FLAIR MRI.
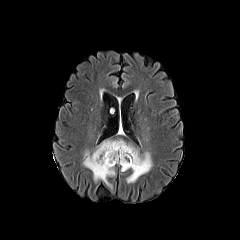
T1-weighted MR.
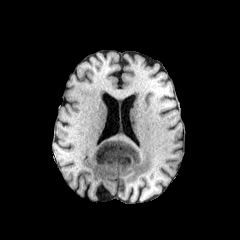
Post-contrast T1-weighted magnetic resonance.
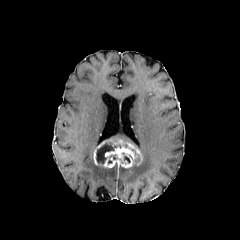
T2-weighted MR image.
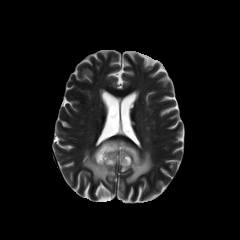
Brain
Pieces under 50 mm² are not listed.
Segmented structures:
* peritumoral edema: rect(121, 151, 152, 183); rect(83, 150, 115, 188)
* enhancing tumor: rect(93, 139, 142, 168)
* necrotic tumor core: rect(96, 143, 116, 163)